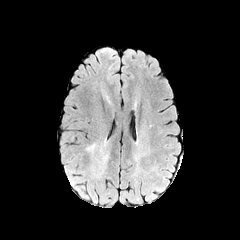
FLAIR MR image.
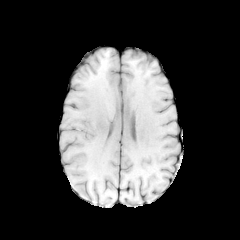
T1-weighted MR.
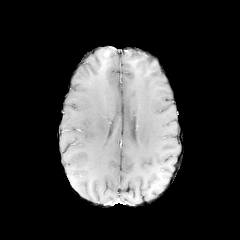
Post-contrast T1-weighted magnetic resonance.
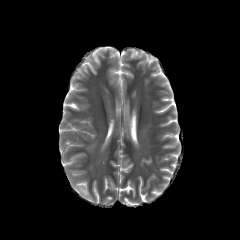
T2-weighted magnetic resonance.
Head
The peritumoral edema lies within 86:143:95:151.